FLAIR MR image.
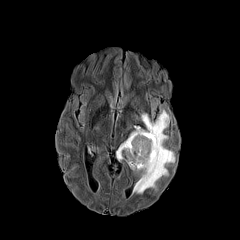
T1-weighted MR.
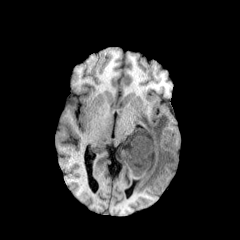
Post-contrast T1-weighted MR image.
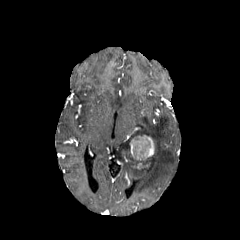
T2-weighted MR image.
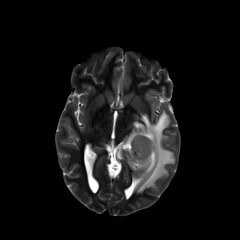
Image size 240x240
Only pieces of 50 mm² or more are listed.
The peritumoral edema is located at region(116, 109, 175, 193). The largest enhancing tumor region is located at region(130, 135, 154, 160).